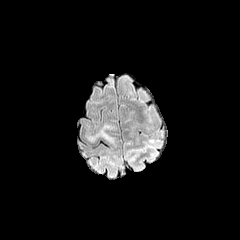
FLAIR magnetic resonance.
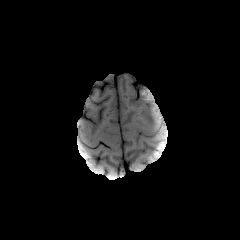
T1-weighted magnetic resonance of the same slice.
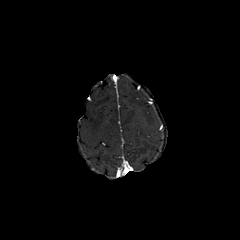
Post-contrast T1-weighted MR.
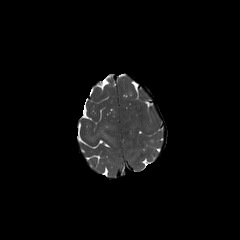
T2-weighted MR image.
240x240 px, Axial plane, Brain
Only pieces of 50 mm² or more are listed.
peritumoral edema at bbox(100, 130, 112, 141)